Brain. Axial plane.
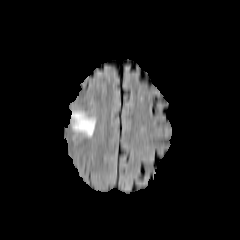
FLAIR MRI.
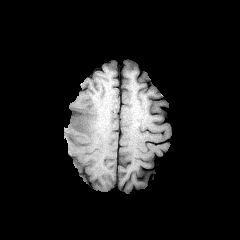
Same slice, T1-weighted MR.
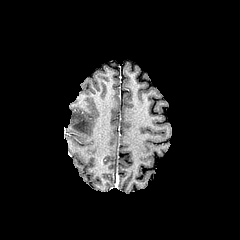
Same slice, post-contrast T1-weighted MR image.
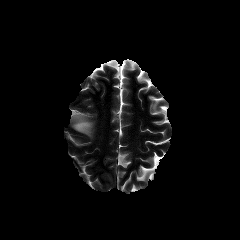
T2-weighted magnetic resonance.
peritumoral edema = 71 111 95 136